FLAIR MR.
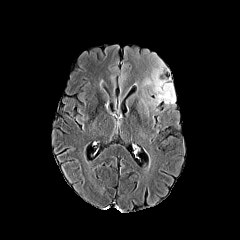
T1-weighted MR image.
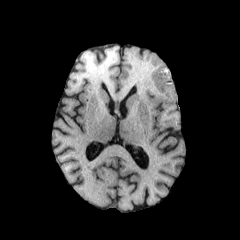
Post-contrast T1-weighted MRI.
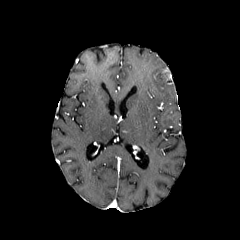
T2-weighted MR image.
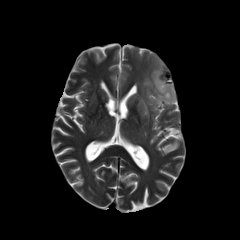
240x240 | Axial plane
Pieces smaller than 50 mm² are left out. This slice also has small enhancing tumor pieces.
Findings:
- peritumoral edema: 143 53 175 111